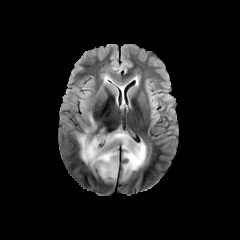
FLAIR MR image.
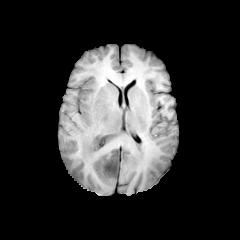
T1-weighted MR.
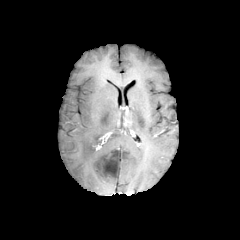
Post-contrast T1-weighted magnetic resonance of the same slice.
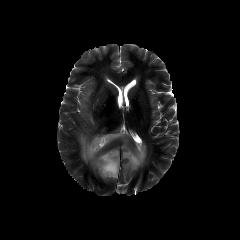
T2-weighted MR of the same slice.
Brain
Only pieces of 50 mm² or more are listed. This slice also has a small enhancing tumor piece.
{"necrotic_tumor_core": ["rect(104, 151, 118, 174)"], "peritumoral_edema": ["rect(78, 129, 146, 180)"]}